FLAIR MR.
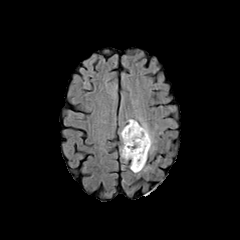
T1-weighted MR image.
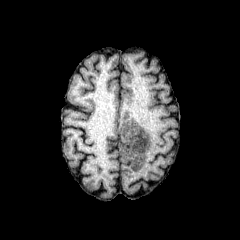
Post-contrast T1-weighted MR image.
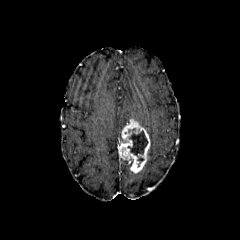
T2-weighted magnetic resonance.
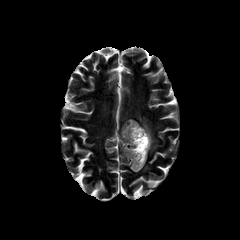
Head
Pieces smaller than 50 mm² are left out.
peritumoral edema = 138 117 155 152
enhancing tumor = 119 119 150 173
necrotic tumor core = 128 131 147 155